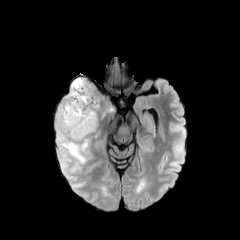
FLAIR MR.
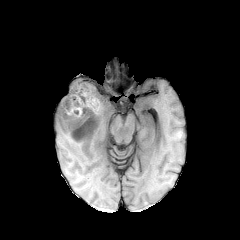
Same slice, T1-weighted MR image.
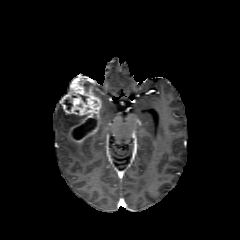
Post-contrast T1-weighted magnetic resonance.
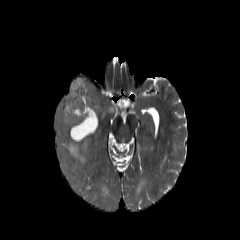
T2-weighted magnetic resonance of the same slice.
240x240
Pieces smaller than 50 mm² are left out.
{
  "peritumoral_edema": [
    "region(58, 129, 89, 163)",
    "region(57, 105, 79, 131)"
  ],
  "enhancing_tumor": [
    "region(61, 78, 101, 142)"
  ],
  "necrotic_tumor_core": [
    "region(63, 98, 72, 110)",
    "region(72, 118, 96, 140)"
  ]
}